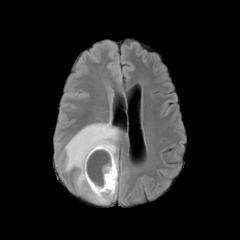
FLAIR MR.
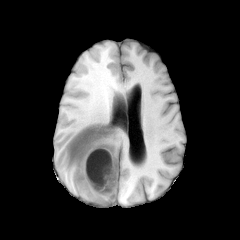
Same slice, T1-weighted MR.
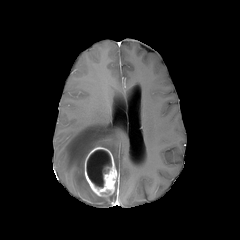
Post-contrast T1-weighted MR.
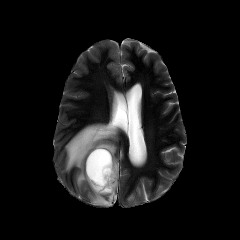
T2-weighted MR image.
Axial view
peritumoral edema = (left=64, top=121, right=118, bottom=204)
enhancing tumor = (left=85, top=146, right=118, bottom=196)
necrotic tumor core = (left=87, top=150, right=111, bottom=187)